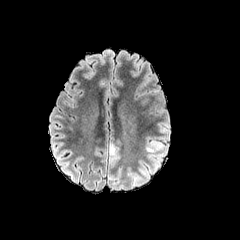
FLAIR MR.
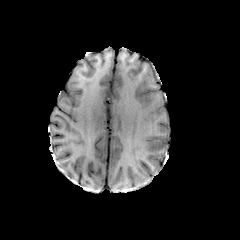
T1-weighted MR of the same slice.
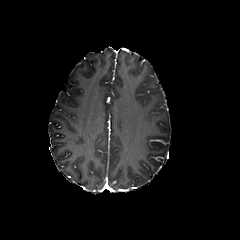
Post-contrast T1-weighted MRI of the same slice.
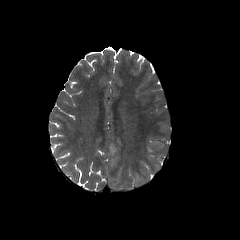
T2-weighted MR image.
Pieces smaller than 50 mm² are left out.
peritumoral edema at [151, 158, 158, 170], [150, 139, 164, 149]